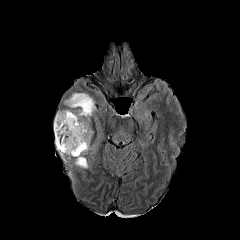
FLAIR MRI.
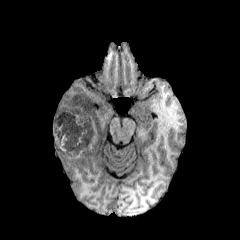
T1-weighted MRI.
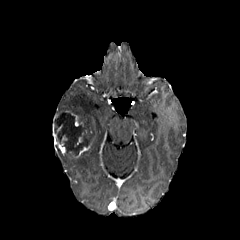
Post-contrast T1-weighted MR.
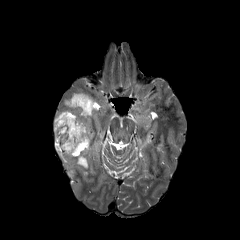
T2-weighted MR of the same slice.
240x240; Brain; Axial view
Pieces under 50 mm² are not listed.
peritumoral edema: bounding box box(75, 155, 88, 168); box(54, 93, 94, 145)
enhancing tumor: bounding box box(77, 145, 90, 157); box(53, 132, 66, 154); box(67, 111, 78, 126)
necrotic tumor core: bounding box box(54, 112, 90, 155)